Slice 58/155 | Axial plane | Head
FLAIR MRI.
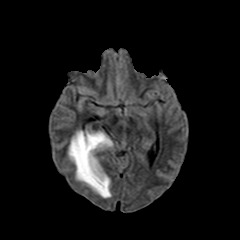
T1-weighted MR image.
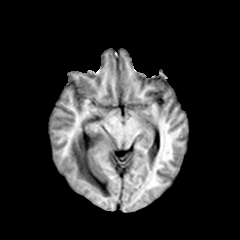
Post-contrast T1-weighted MRI.
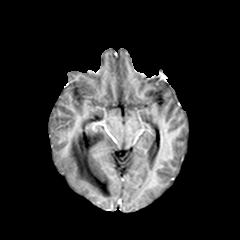
T2-weighted magnetic resonance.
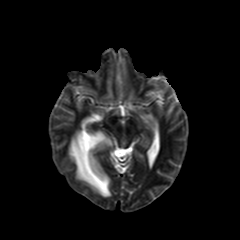
The peritumoral edema lies within 68, 130, 113, 197.